FLAIR MR image.
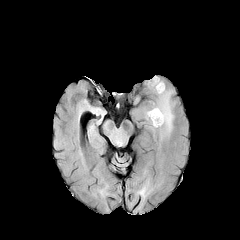
T1-weighted magnetic resonance.
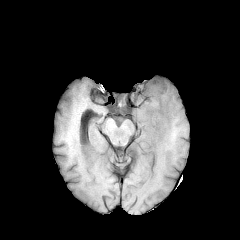
Post-contrast T1-weighted MRI.
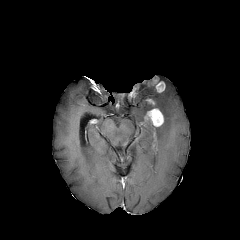
T2-weighted MR image.
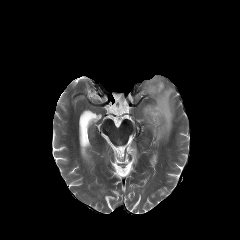
Axial slice. Head.
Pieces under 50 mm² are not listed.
peritumoral edema: bounding box l=144, t=85, r=173, b=139
enhancing tumor: bounding box l=148, t=77, r=165, b=92; l=145, t=108, r=163, b=126